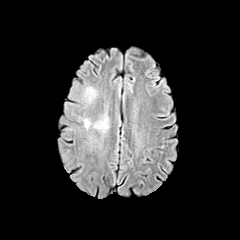
FLAIR magnetic resonance.
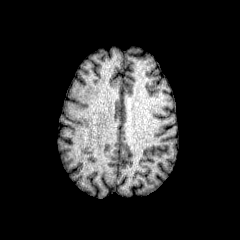
T1-weighted MR.
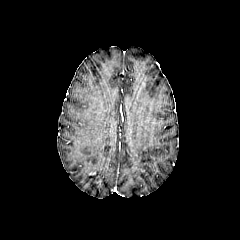
Post-contrast T1-weighted magnetic resonance.
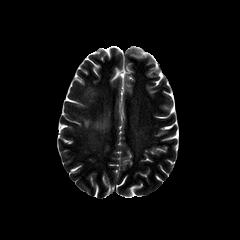
T2-weighted magnetic resonance.
Brain
peritumoral edema: bounding box bbox=[79, 115, 108, 132]; bbox=[84, 87, 96, 102]